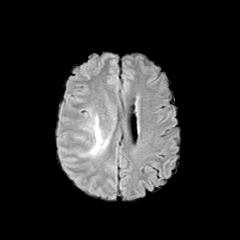
FLAIR MR.
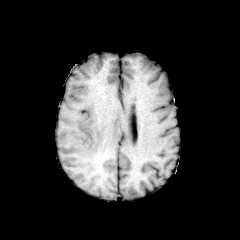
T1-weighted MR image of the same slice.
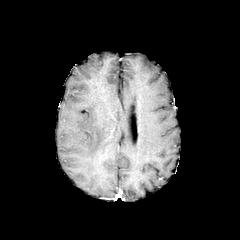
Post-contrast T1-weighted MR image of the same slice.
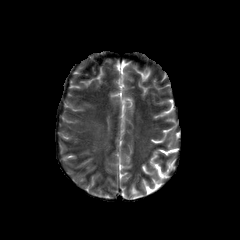
T2-weighted MRI.
240x240
peritumoral edema: (82,116,108,155)